Axial view | Slice index 112 | Head
FLAIR MRI.
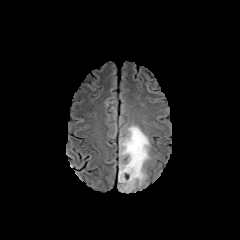
T1-weighted magnetic resonance.
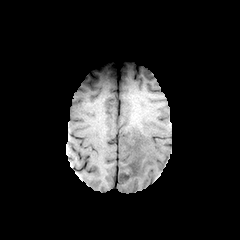
Post-contrast T1-weighted magnetic resonance.
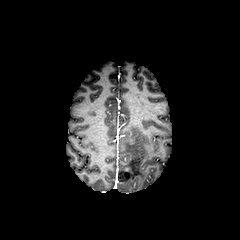
T2-weighted magnetic resonance.
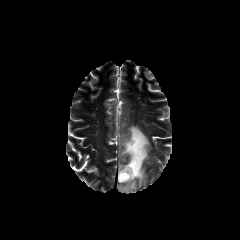
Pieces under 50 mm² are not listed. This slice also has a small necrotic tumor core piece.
peritumoral_edema:
  - [118,125,149,192]